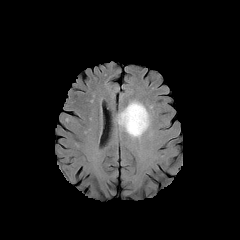
FLAIR MR.
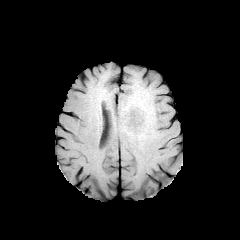
T1-weighted MR.
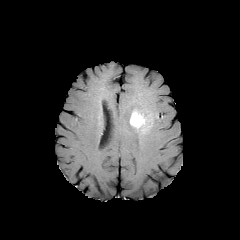
Post-contrast T1-weighted MR image.
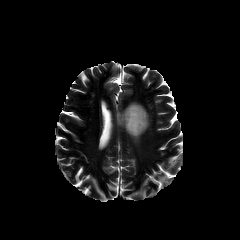
T2-weighted magnetic resonance of the same slice.
Brain | Axial view
peritumoral edema at box=[117, 101, 151, 139]
enhancing tumor at box=[129, 109, 148, 131]